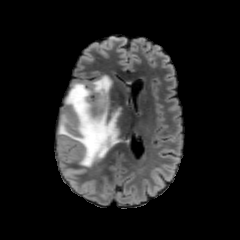
FLAIR magnetic resonance.
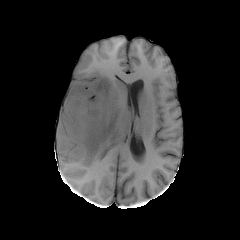
T1-weighted MR image of the same slice.
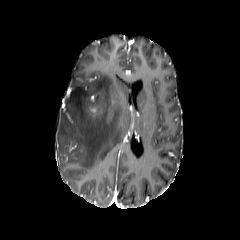
Post-contrast T1-weighted MRI of the same slice.
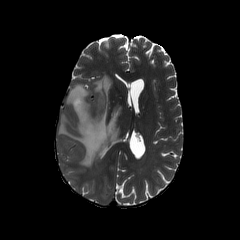
T2-weighted magnetic resonance.
Brain.
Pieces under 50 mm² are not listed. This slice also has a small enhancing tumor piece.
peritumoral edema at 58, 75, 121, 166